FLAIR MR.
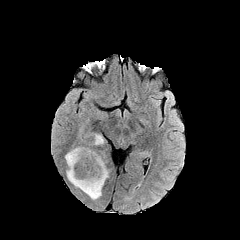
T1-weighted MRI.
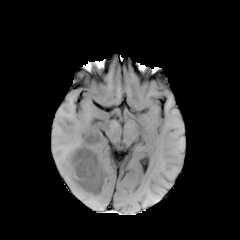
Post-contrast T1-weighted MR.
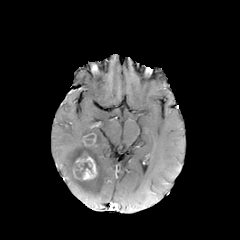
T2-weighted MR image.
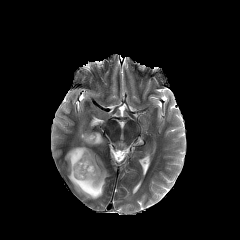
Axial view; Head; 240x240
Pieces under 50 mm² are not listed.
peritumoral edema: box(65, 132, 109, 199); box(78, 125, 88, 141)
necrotic tumor core: box(85, 134, 94, 143); box(73, 162, 91, 179)
enhancing tumor: box(75, 154, 97, 179)